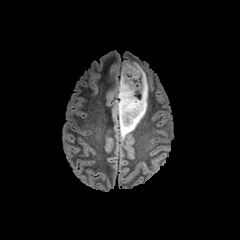
FLAIR MRI.
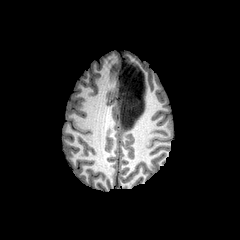
T1-weighted MRI.
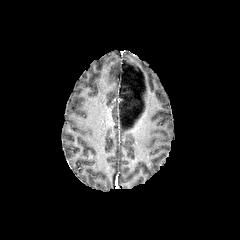
Post-contrast T1-weighted magnetic resonance of the same slice.
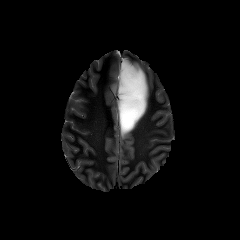
T2-weighted MRI.
Image size 240x240, Brain
peritumoral edema — box(119, 60, 148, 139)